Brain; Axial slice
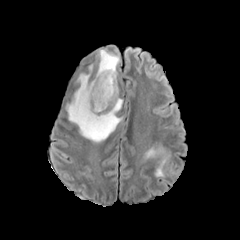
FLAIR MRI.
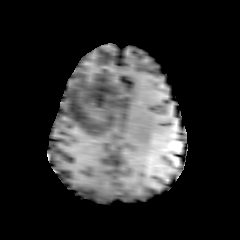
T1-weighted MRI of the same slice.
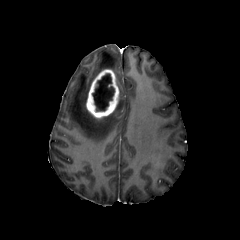
Post-contrast T1-weighted MR image.
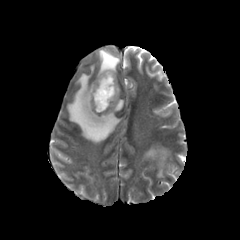
T2-weighted magnetic resonance of the same slice.
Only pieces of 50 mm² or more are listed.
necrotic tumor core at [x1=92, y1=74, x2=114, y2=111]
peritumoral edema at [x1=96, y1=48, x2=119, y2=84], [x1=145, y1=147, x2=175, y2=176], [x1=67, y1=73, x2=123, y2=142]
enhancing tumor at [x1=86, y1=69, x2=119, y2=118]